Image width 240 mm. Slice index 100.
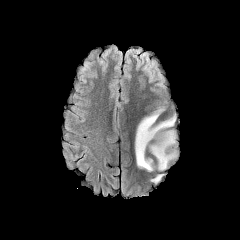
FLAIR MRI.
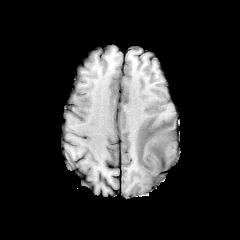
T1-weighted MR of the same slice.
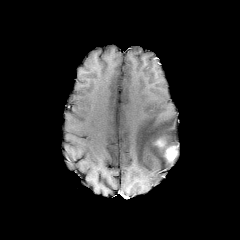
Same slice, post-contrast T1-weighted MR image.
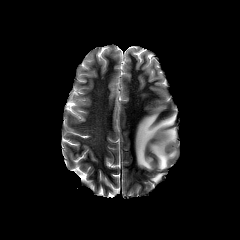
Same slice, T2-weighted MRI.
2 enhancing tumor regions are located at (155, 139, 165, 148), (164, 145, 177, 162). 2 peritumoral edema regions appear at (135, 107, 177, 171), (151, 174, 162, 182).